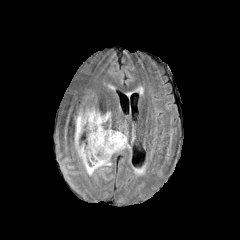
FLAIR MR.
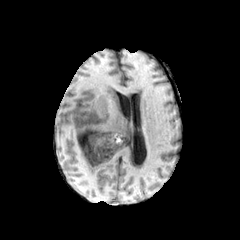
T1-weighted MR.
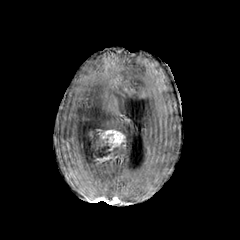
Post-contrast T1-weighted magnetic resonance.
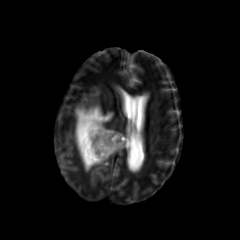
T2-weighted MRI of the same slice.
240x240 px
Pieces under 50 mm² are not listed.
The largest necrotic tumor core region appears at [x1=86, y1=139, x2=113, y2=160]. 2 peritumoral edema regions are located at [x1=113, y1=136, x2=129, y2=152], [x1=75, y1=108, x2=111, y2=174]. The 2 largest enhancing tumor regions are bounded by [x1=96, y1=129, x2=126, y2=151], [x1=93, y1=153, x2=113, y2=163].